Slice 84/155, Image width 240 mm, 1.00 mm slice spacing
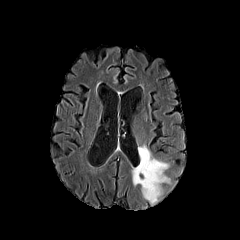
FLAIR MR.
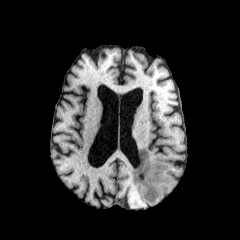
T1-weighted MRI of the same slice.
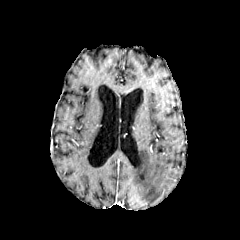
Same slice, post-contrast T1-weighted MR image.
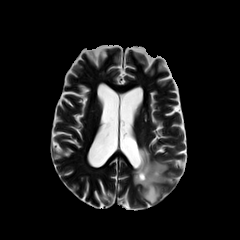
Same slice, T2-weighted MR.
peritumoral edema: rect(132, 145, 169, 204)